Image covers 240 mm x 240 mm. Slice 91/155. Head.
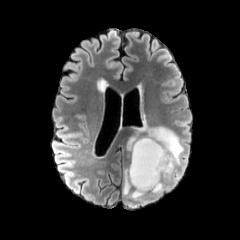
FLAIR magnetic resonance.
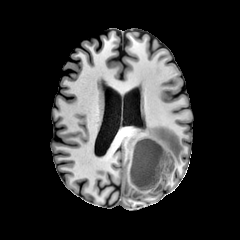
T1-weighted magnetic resonance.
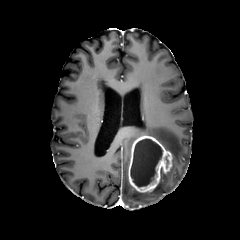
Post-contrast T1-weighted MR.
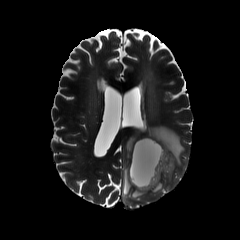
T2-weighted MRI.
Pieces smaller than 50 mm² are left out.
{"enhancing_tumor": ["[128, 135, 172, 192]"], "peritumoral_edema": ["[123, 168, 163, 203]", "[127, 120, 184, 179]"], "necrotic_tumor_core": ["[130, 139, 162, 186]"]}